Image covers 240 mm x 240 mm | Brain
FLAIR MRI.
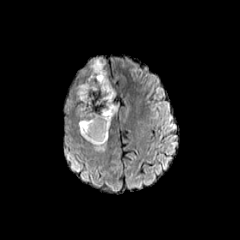
T1-weighted magnetic resonance.
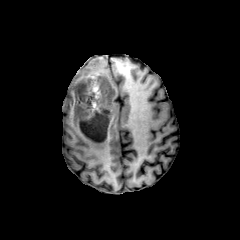
Post-contrast T1-weighted magnetic resonance.
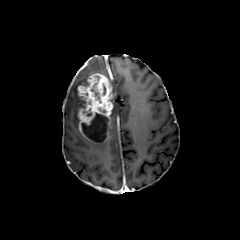
T2-weighted MR image.
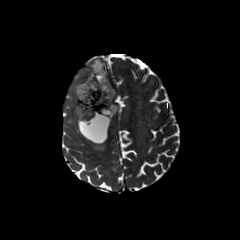
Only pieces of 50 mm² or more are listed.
Segmented structures:
- enhancing tumor: 78 73 113 143
- peritumoral edema: 91 140 106 150, 111 103 117 121, 75 58 107 117
- necrotic tumor core: 81 113 108 142, 91 83 99 99